Axial plane. Brain. Slice 108 of 155.
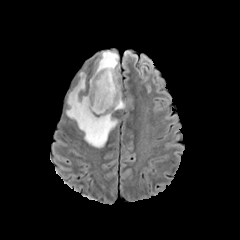
FLAIR MR image.
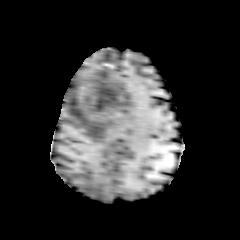
T1-weighted magnetic resonance.
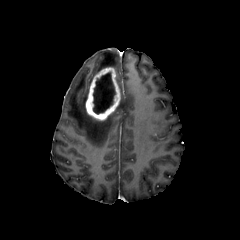
Post-contrast T1-weighted magnetic resonance.
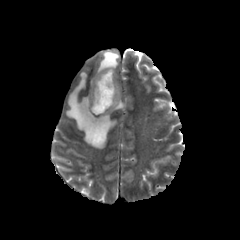
Same slice, T2-weighted MR.
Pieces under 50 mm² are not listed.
peritumoral edema: 66 72 117 147, 96 50 118 73, 116 99 125 109
enhancing tumor: 85 67 120 120
necrotic tumor core: 93 72 115 113